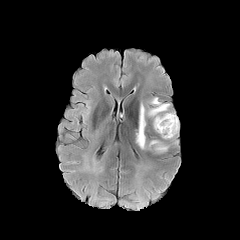
FLAIR magnetic resonance.
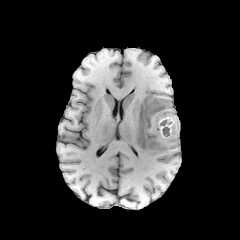
Same slice, T1-weighted MR.
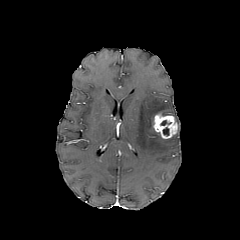
Same slice, post-contrast T1-weighted MRI.
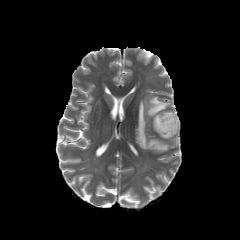
Same slice, T2-weighted magnetic resonance.
Brain
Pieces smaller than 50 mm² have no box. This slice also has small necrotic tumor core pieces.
enhancing_tumor:
  - <bbox>153, 113, 178, 139</bbox>
peritumoral_edema:
  - <bbox>136, 97, 179, 152</bbox>